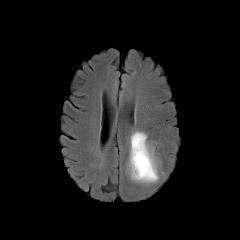
FLAIR MRI.
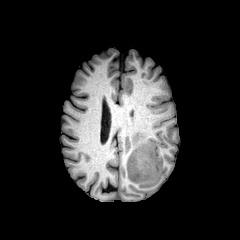
T1-weighted MRI.
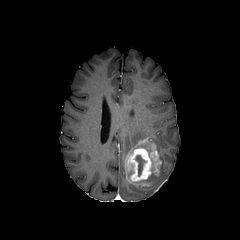
Post-contrast T1-weighted MRI of the same slice.
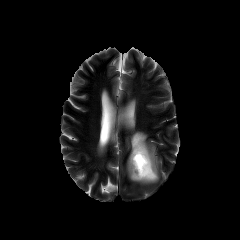
T2-weighted magnetic resonance.
Brain.
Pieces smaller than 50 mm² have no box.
Segmented structures:
• enhancing tumor: [126,138,160,181]
• peritumoral edema: [132,173,159,184], [129,131,147,154]
• necrotic tumor core: [135,155,145,175]